Slice 81 of 155, Image covers 240 mm x 240 mm, Axial plane
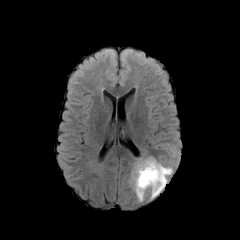
FLAIR magnetic resonance.
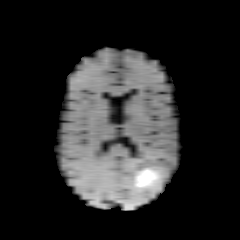
T1-weighted MRI.
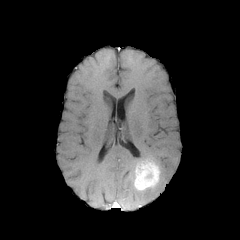
Same slice, post-contrast T1-weighted MR image.
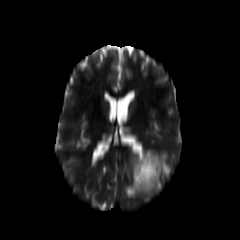
T2-weighted magnetic resonance of the same slice.
enhancing_tumor:
  - bbox=[134, 159, 160, 190]
peritumoral_edema:
  - bbox=[129, 152, 172, 201]